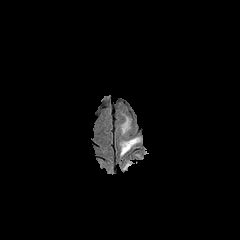
FLAIR MR.
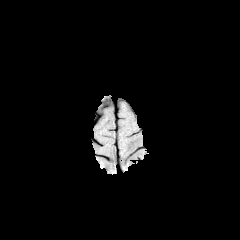
T1-weighted magnetic resonance.
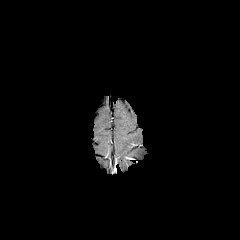
Post-contrast T1-weighted MRI of the same slice.
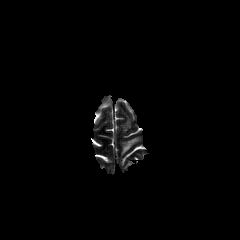
T2-weighted magnetic resonance.
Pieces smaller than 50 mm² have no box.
The 2 largest peritumoral edema regions are bounded by x1=120, y1=116, x2=131, y2=134; x1=120, y1=137, x2=141, y2=156.